FLAIR MRI.
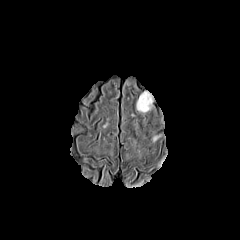
T1-weighted MR image.
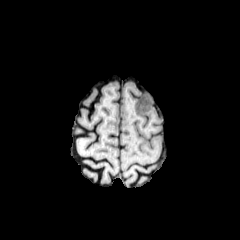
Post-contrast T1-weighted MR.
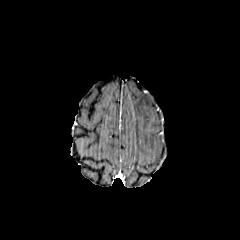
T2-weighted MRI.
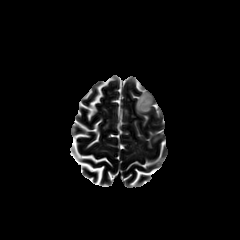
Brain
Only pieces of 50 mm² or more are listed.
The largest peritumoral edema region appears at x1=136 y1=91 x2=153 y2=112.